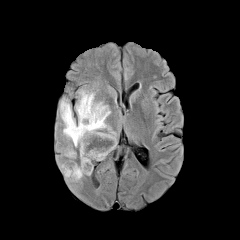
FLAIR MR.
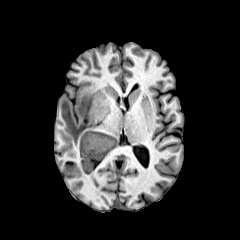
T1-weighted magnetic resonance.
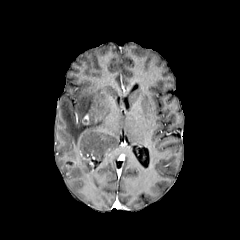
Post-contrast T1-weighted magnetic resonance of the same slice.
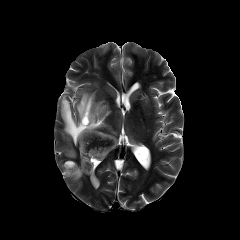
T2-weighted MRI.
240x240 | Axial view
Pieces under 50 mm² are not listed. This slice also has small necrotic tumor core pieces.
The 2 largest peritumoral edema regions are located at 64 148 75 157, 60 89 116 180. The largest enhancing tumor region is bounded by 82 114 88 124.